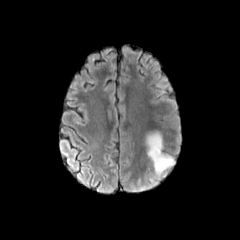
FLAIR MR.
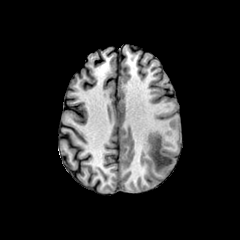
T1-weighted MRI of the same slice.
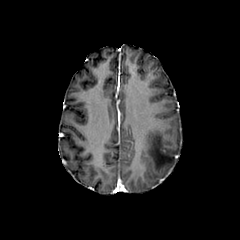
Post-contrast T1-weighted MRI of the same slice.
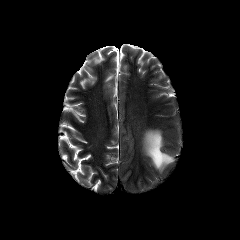
T2-weighted MR image.
Image size 240x240. Brain.
Findings:
• peritumoral edema: [x1=145, y1=133, x2=174, y2=173]